Slice index 52; Image width 240 mm, 1.00 mm slice spacing; Axial view; Head
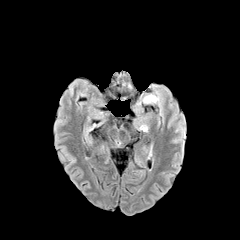
FLAIR MR image.
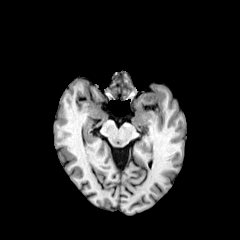
T1-weighted MR image of the same slice.
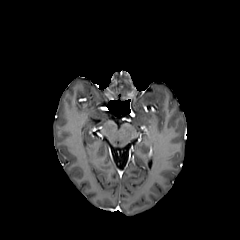
Same slice, post-contrast T1-weighted MR image.
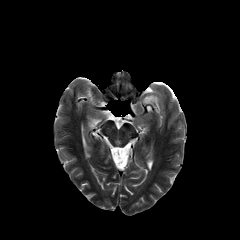
T2-weighted magnetic resonance of the same slice.
The peritumoral edema appears at 143 95 157 102.